Head | Image covers 240 mm x 240 mm
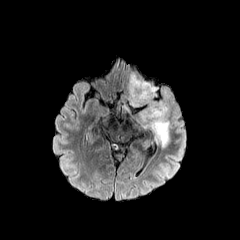
FLAIR magnetic resonance.
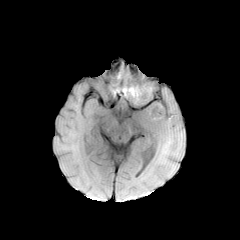
T1-weighted MR image of the same slice.
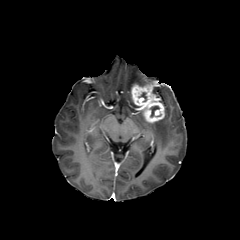
Same slice, post-contrast T1-weighted MR.
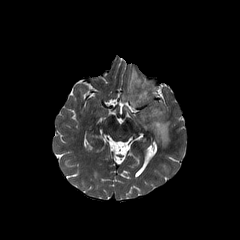
Same slice, T2-weighted MR.
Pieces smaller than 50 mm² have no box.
{
  "enhancing_tumor": [
    "left=131, top=82, right=165, bottom=123"
  ],
  "necrotic_tumor_core": [
    "left=150, top=106, right=159, bottom=116"
  ],
  "peritumoral_edema": [
    "left=127, top=73, right=156, bottom=107",
    "left=137, top=106, right=169, bottom=149"
  ]
}